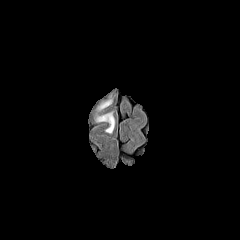
FLAIR magnetic resonance.
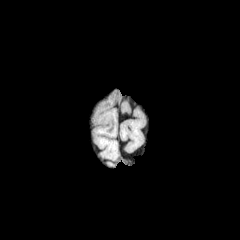
T1-weighted MR image.
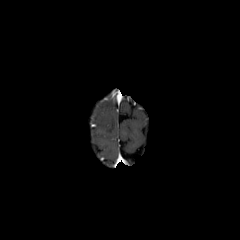
Same slice, post-contrast T1-weighted MR.
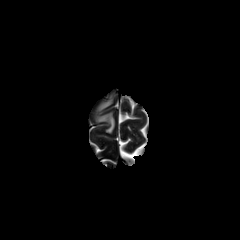
Same slice, T2-weighted MR image.
Axial slice.
peritumoral edema: l=98, t=100, r=111, b=110; l=96, t=112, r=114, b=133